Head | Axial plane
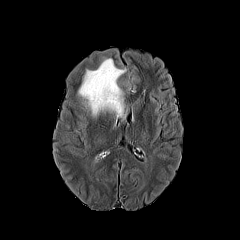
FLAIR MR.
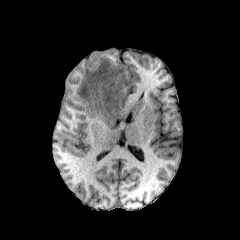
T1-weighted MR of the same slice.
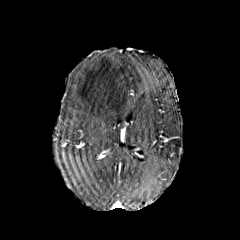
Post-contrast T1-weighted MRI of the same slice.
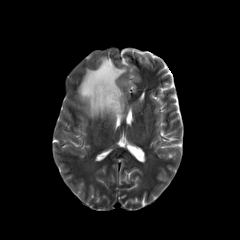
T2-weighted magnetic resonance.
Annotated regions:
- peritumoral edema: [78, 58, 125, 118]